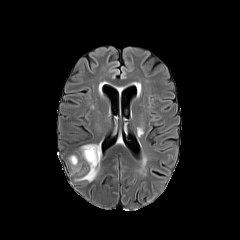
FLAIR magnetic resonance.
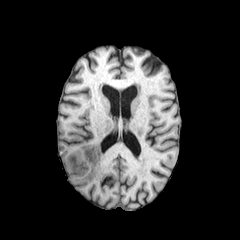
T1-weighted MR of the same slice.
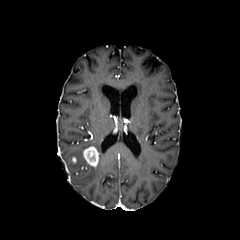
Same slice, post-contrast T1-weighted MRI.
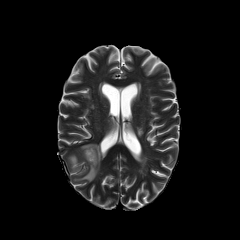
Same slice, T2-weighted MRI.
240x240. Axial plane.
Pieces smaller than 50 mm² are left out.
enhancing tumor: region(83, 146, 99, 167)
peritumoral edema: region(76, 144, 101, 182); region(69, 155, 79, 172)